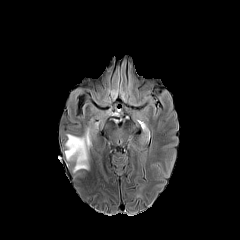
FLAIR magnetic resonance.
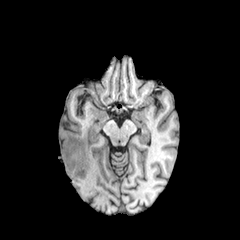
Same slice, T1-weighted MRI.
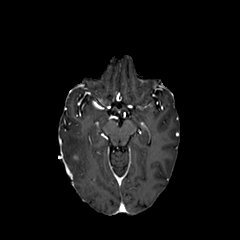
Post-contrast T1-weighted MR.
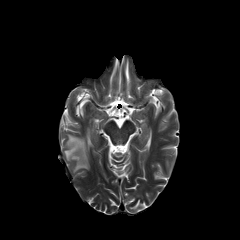
T2-weighted MR.
240x240 px
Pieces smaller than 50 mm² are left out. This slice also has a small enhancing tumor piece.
The peritumoral edema appears at rect(64, 132, 90, 171).